240x240 | Image width 240 mm, 1.00 mm slice spacing | Axial slice | Slice 47 of 155 | Head
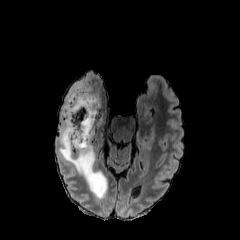
FLAIR magnetic resonance.
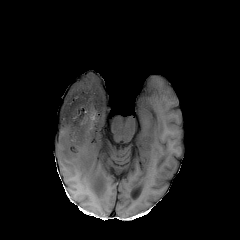
Same slice, T1-weighted magnetic resonance.
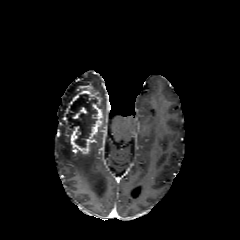
Post-contrast T1-weighted MR.
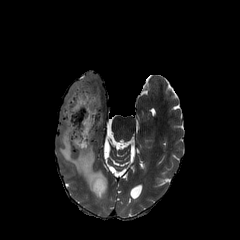
T2-weighted MRI.
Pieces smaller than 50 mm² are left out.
The largest enhancing tumor region is bounded by rect(65, 85, 104, 154). The peritumoral edema is at rect(59, 75, 107, 198). The necrotic tumor core is at rect(68, 94, 97, 147).